Head, Axial plane
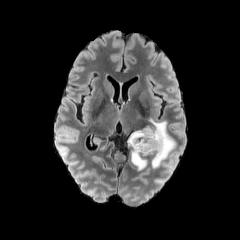
FLAIR magnetic resonance.
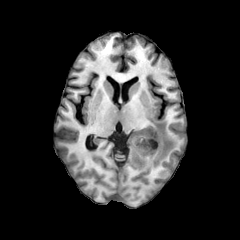
T1-weighted magnetic resonance of the same slice.
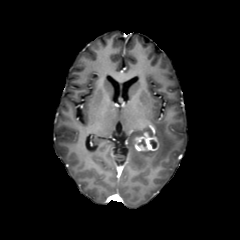
Post-contrast T1-weighted MR.
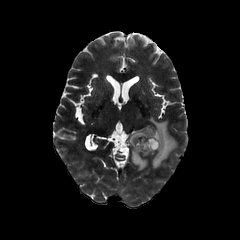
T2-weighted magnetic resonance.
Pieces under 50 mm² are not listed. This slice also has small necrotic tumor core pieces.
The peritumoral edema is located at (127, 118, 176, 170). The enhancing tumor lies within (134, 131, 159, 151).